Axial slice; Head; Slice index 102
FLAIR magnetic resonance.
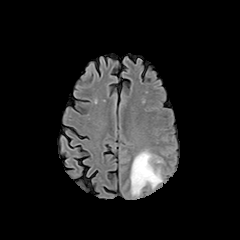
T1-weighted magnetic resonance.
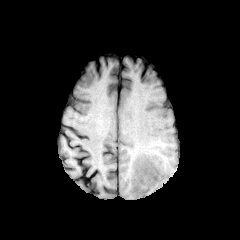
Post-contrast T1-weighted MR.
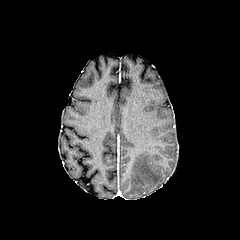
T2-weighted MR.
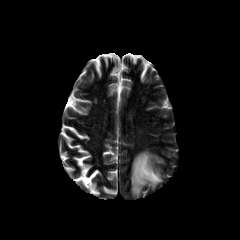
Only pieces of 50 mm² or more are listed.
peritumoral edema = left=131, top=151, right=162, bottom=195